Brain
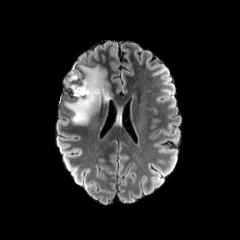
FLAIR MR.
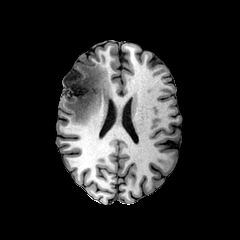
Same slice, T1-weighted MRI.
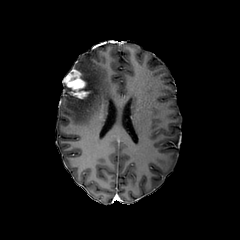
Post-contrast T1-weighted MRI of the same slice.
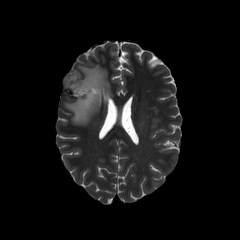
Same slice, T2-weighted MRI.
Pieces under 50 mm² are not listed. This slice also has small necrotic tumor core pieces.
peritumoral edema: left=65, top=65, right=109, bottom=124 | enhancing tumor: left=63, top=67, right=88, bottom=98